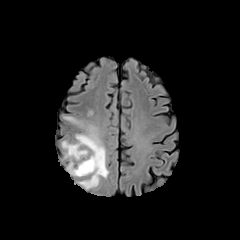
FLAIR magnetic resonance.
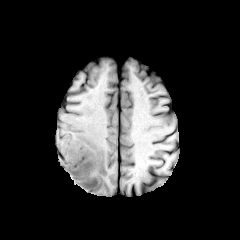
T1-weighted MRI.
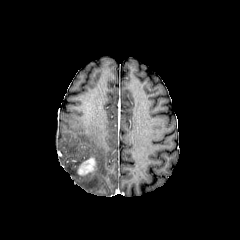
Same slice, post-contrast T1-weighted MR.
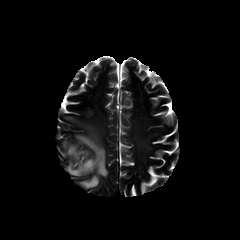
T2-weighted MR image.
240x240 px; Head
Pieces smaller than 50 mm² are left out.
peritumoral edema at [64,116,83,126], [62,125,108,189]
enhancing tumor at [77,157,95,175]